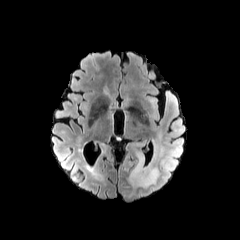
FLAIR MR image.
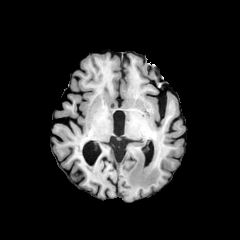
Same slice, T1-weighted MR.
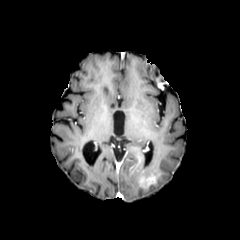
Post-contrast T1-weighted MRI.
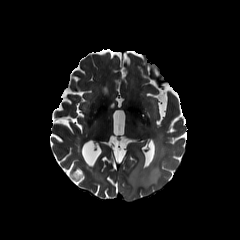
T2-weighted magnetic resonance of the same slice.
Axial slice.
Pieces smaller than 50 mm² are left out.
{
  "enhancing_tumor": [
    "<bbox>130, 156, 158, 186</bbox>"
  ],
  "peritumoral_edema": [
    "<bbox>134, 150, 159, 177</bbox>",
    "<bbox>128, 173, 161, 191</bbox>"
  ]
}